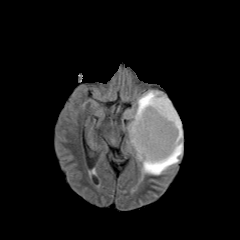
FLAIR magnetic resonance.
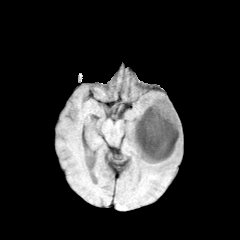
Same slice, T1-weighted MRI.
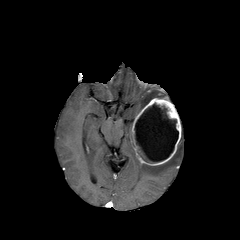
Post-contrast T1-weighted magnetic resonance of the same slice.
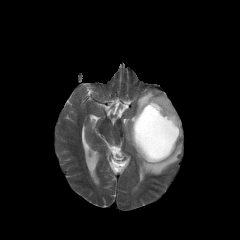
T2-weighted magnetic resonance.
Axial view, Image size 240x240
Annotated regions:
• enhancing tumor: [130, 97, 181, 165]
• necrotic tumor core: [134, 104, 178, 162]
• peritumoral edema: [141, 130, 182, 179], [123, 90, 166, 147]